Axial plane
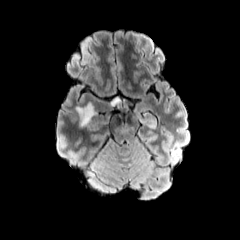
FLAIR magnetic resonance.
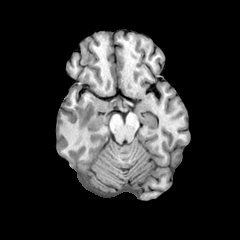
T1-weighted magnetic resonance.
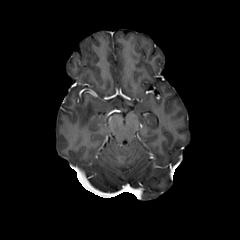
Post-contrast T1-weighted MRI of the same slice.
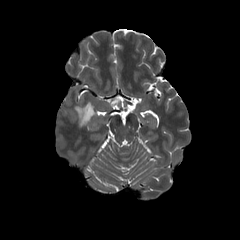
T2-weighted MR image.
peritumoral edema: bbox(111, 96, 120, 106); bbox(75, 103, 95, 126)